FLAIR MRI.
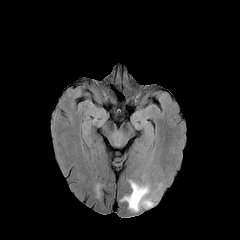
T1-weighted magnetic resonance.
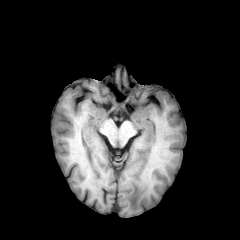
Post-contrast T1-weighted MR image.
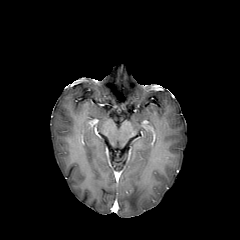
T2-weighted MR.
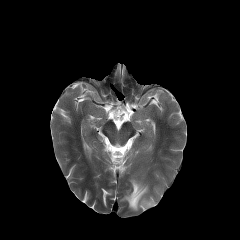
Axial view
The peritumoral edema is at 121:180:153:211.